FLAIR MR image.
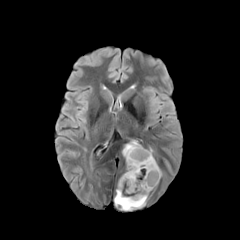
T1-weighted MR.
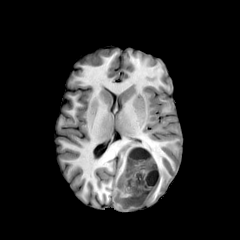
Post-contrast T1-weighted MR.
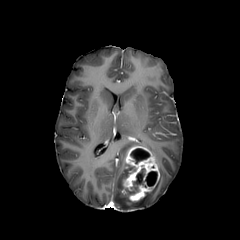
T2-weighted magnetic resonance.
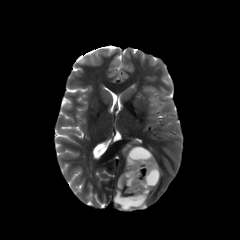
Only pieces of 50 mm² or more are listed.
Findings:
- peritumoral edema: 114, 171, 148, 210; 122, 141, 139, 157
- enhancing tumor: 123, 146, 159, 201
- necrotic tumor core: 128, 169, 144, 193; 145, 171, 157, 186; 131, 148, 149, 163